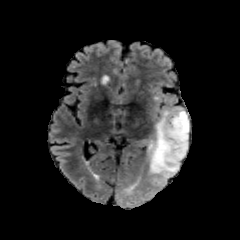
FLAIR MRI.
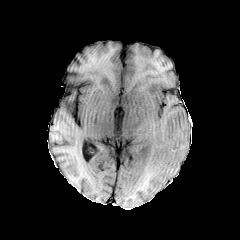
T1-weighted MR.
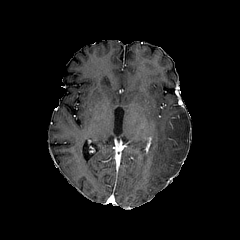
Post-contrast T1-weighted magnetic resonance.
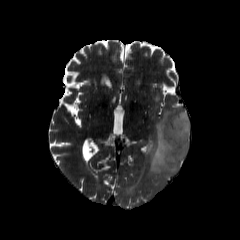
T2-weighted MR.
Brain.
2 peritumoral edema regions appear at [138,138,148,145], [147,106,189,182].